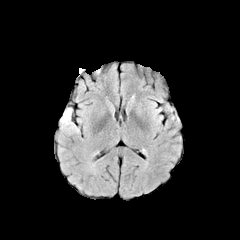
FLAIR magnetic resonance.
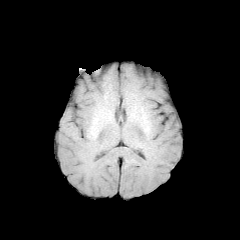
T1-weighted MR image.
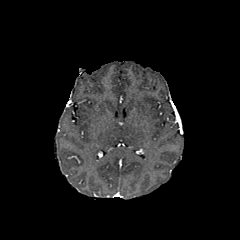
Post-contrast T1-weighted MRI.
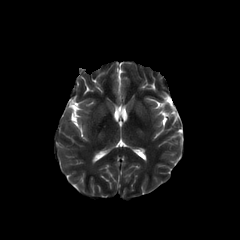
T2-weighted MRI.
peritumoral edema — <box>58,108,79,132</box>